Axial slice; Slice 116 of 155; Head
FLAIR MR image.
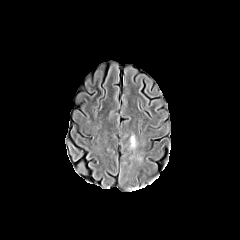
T1-weighted MRI.
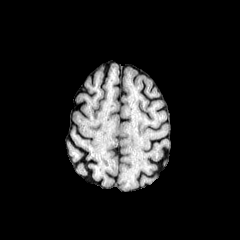
Post-contrast T1-weighted magnetic resonance.
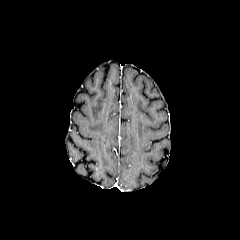
T2-weighted magnetic resonance.
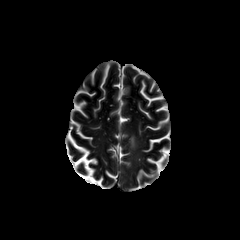
peritumoral edema: bounding box box(130, 136, 135, 148)